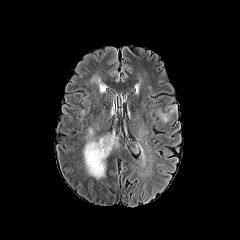
FLAIR magnetic resonance.
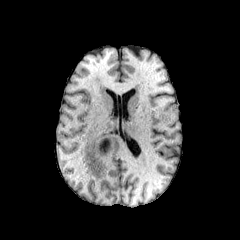
T1-weighted magnetic resonance.
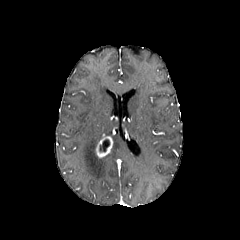
Post-contrast T1-weighted magnetic resonance of the same slice.
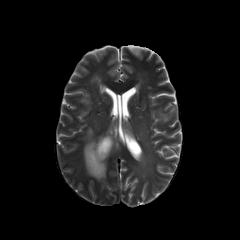
T2-weighted MRI of the same slice.
Brain | Image size 240x240
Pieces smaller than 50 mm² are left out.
enhancing tumor = [95, 136, 112, 157]
peritumoral edema = [83, 128, 107, 179], [159, 113, 169, 122]
necrotic tumor core = [100, 139, 109, 151]